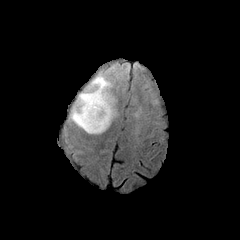
FLAIR MR.
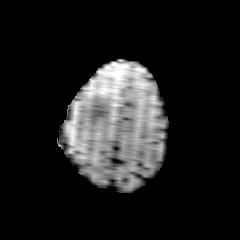
T1-weighted magnetic resonance of the same slice.
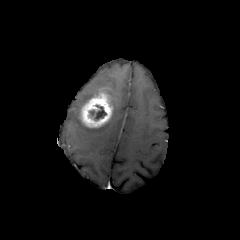
Same slice, post-contrast T1-weighted MRI.
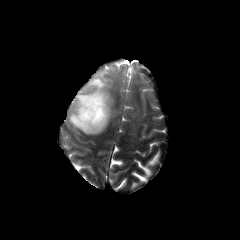
Same slice, T2-weighted MRI.
Head; Image size 240x240
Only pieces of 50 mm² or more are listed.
The largest peritumoral edema region is bounded by x1=69 y1=73 x2=116 y2=133. The largest necrotic tumor core region appears at x1=96 y1=107 x2=105 y2=118. The enhancing tumor appears at x1=79 y1=86 x2=115 y2=128.